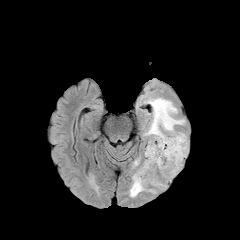
FLAIR magnetic resonance.
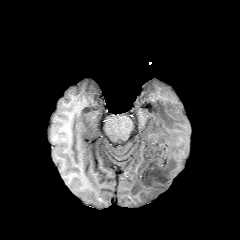
T1-weighted magnetic resonance.
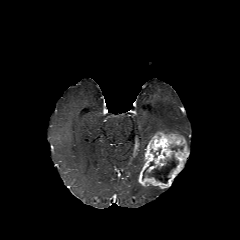
Same slice, post-contrast T1-weighted MRI.
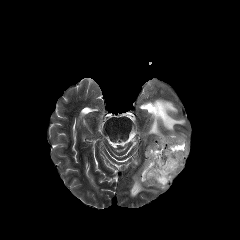
Same slice, T2-weighted MR image.
Head. Axial plane.
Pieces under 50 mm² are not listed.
The 2 largest peritumoral edema regions are located at 143:98:187:144, 129:167:155:196. The enhancing tumor is at 138:131:188:188. The largest necrotic tumor core region is located at 148:155:178:183.